FLAIR MR.
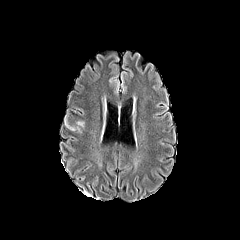
T1-weighted MR image.
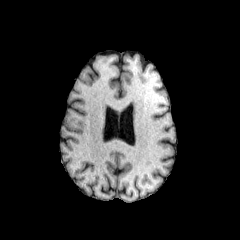
Post-contrast T1-weighted magnetic resonance.
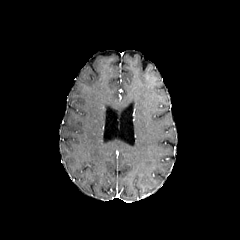
T2-weighted magnetic resonance.
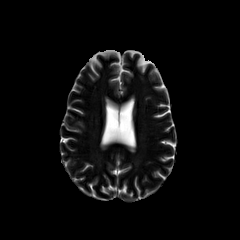
Axial view. 240x240.
* peritumoral edema: <bbox>67, 121, 84, 130</bbox>